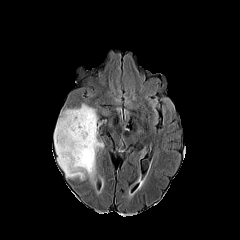
FLAIR MR image.
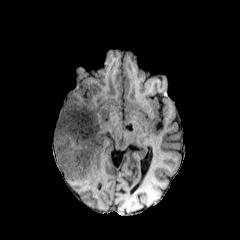
T1-weighted MRI of the same slice.
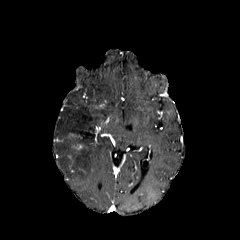
Post-contrast T1-weighted MR of the same slice.
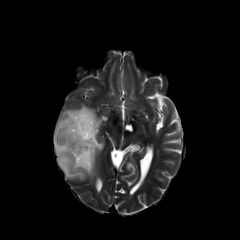
T2-weighted MR.
Head; 240x240; Axial slice
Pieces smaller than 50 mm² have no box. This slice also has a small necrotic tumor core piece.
enhancing tumor: box(74, 143, 83, 150) | peritumoral edema: box(54, 104, 103, 180)